FLAIR magnetic resonance.
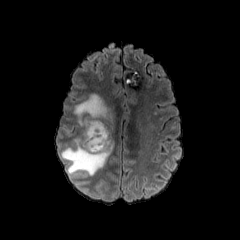
T1-weighted MR image.
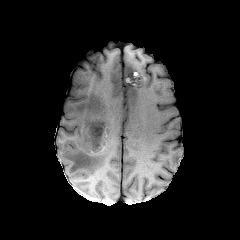
Post-contrast T1-weighted MR.
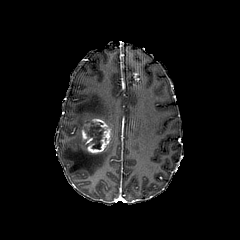
T2-weighted MR image.
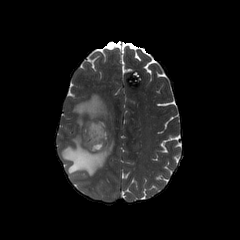
Axial plane
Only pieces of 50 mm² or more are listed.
<segmentation>
  <enhancing_tumor><bbox>82, 118, 110, 153</bbox></enhancing_tumor>
  <necrotic_tumor_core><bbox>85, 122, 103, 149</bbox></necrotic_tumor_core>
  <peritumoral_edema><bbox>60, 93, 118, 175</bbox></peritumoral_edema>
</segmentation>